Image width 240 mm, 1.00 mm slice spacing, Axial view, Slice 105 of 155, Brain
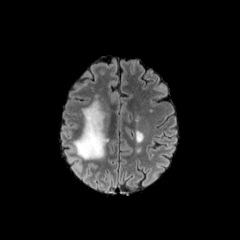
FLAIR magnetic resonance.
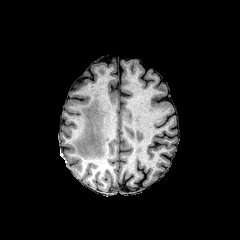
Same slice, T1-weighted magnetic resonance.
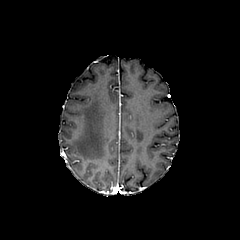
Same slice, post-contrast T1-weighted MRI.
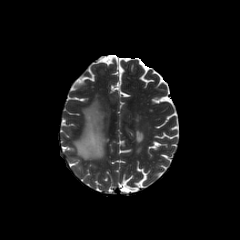
T2-weighted MRI.
<segmentation>
  <peritumoral_edema>73 100 109 159</peritumoral_edema>
</segmentation>